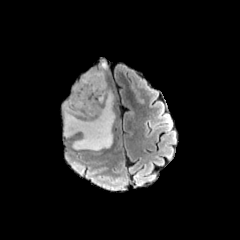
FLAIR magnetic resonance.
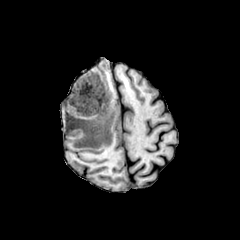
T1-weighted MRI.
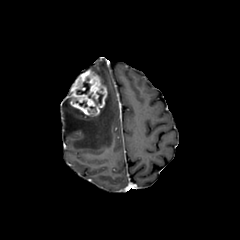
Post-contrast T1-weighted MR image.
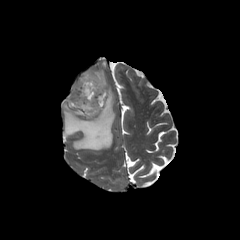
T2-weighted MR.
Axial slice
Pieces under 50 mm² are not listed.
Segmented structures:
* necrotic tumor core: 77, 81, 89, 94
* enhancing tumor: 69, 70, 107, 115
* peritumoral edema: 63, 90, 115, 150; 95, 72, 105, 85